FLAIR MR.
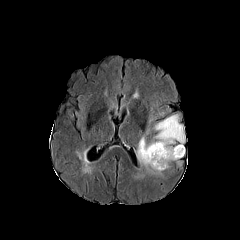
T1-weighted MR image.
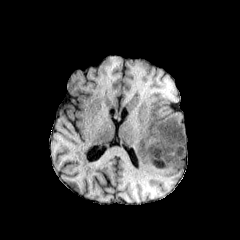
Post-contrast T1-weighted magnetic resonance.
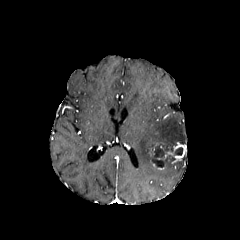
T2-weighted magnetic resonance.
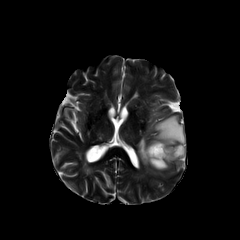
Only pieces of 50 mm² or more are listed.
peritumoral edema: l=136, t=114, r=185, b=174 | enhancing tumor: l=157, t=144, r=185, b=160 | necrotic tumor core: l=151, t=143, r=170, b=167; l=174, t=147, r=182, b=155